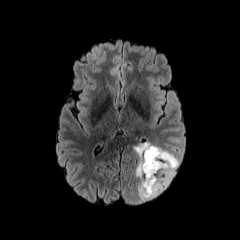
FLAIR MRI.
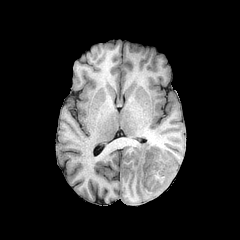
Same slice, T1-weighted magnetic resonance.
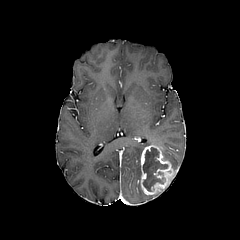
Post-contrast T1-weighted magnetic resonance.
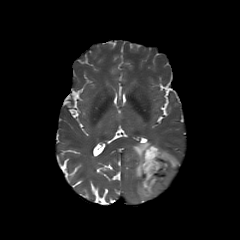
T2-weighted MR image.
Axial plane
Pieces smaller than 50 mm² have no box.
- peritumoral edema: box=[161, 148, 179, 174]; box=[133, 142, 161, 199]
- necrotic tumor core: box=[143, 147, 168, 191]
- enhancing tumor: box=[140, 145, 174, 195]